FLAIR magnetic resonance.
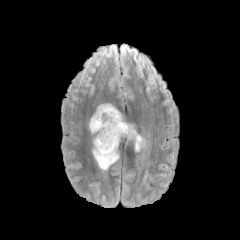
T1-weighted MR image.
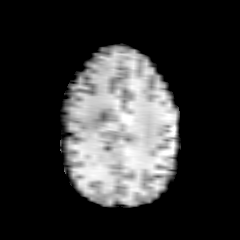
Post-contrast T1-weighted MRI.
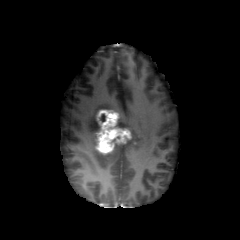
T2-weighted magnetic resonance.
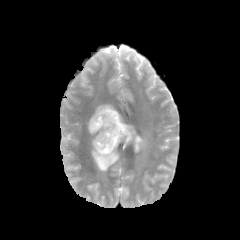
Head | 240x240
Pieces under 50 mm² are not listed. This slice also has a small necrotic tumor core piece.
<segmentation>
  <peritumoral_edema>(x1=116, y1=112, x2=146, y2=151), (x1=89, y1=103, x2=118, y2=133), (x1=93, y1=135, x2=119, y2=171)</peritumoral_edema>
  <enhancing_tumor>(x1=96, y1=109, x2=131, y2=154)</enhancing_tumor>
</segmentation>